Slice 98/155; Axial plane
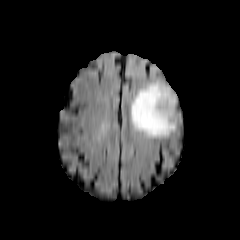
FLAIR magnetic resonance.
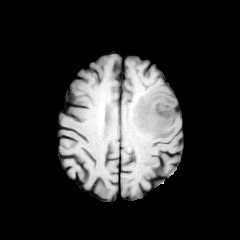
Same slice, T1-weighted MR.
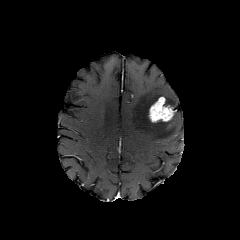
Post-contrast T1-weighted MRI.
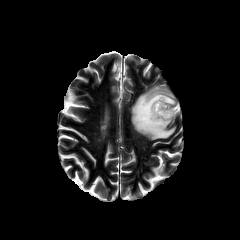
Same slice, T2-weighted MR.
peritumoral edema: bbox=[131, 82, 176, 138] | enhancing tumor: bbox=[148, 96, 176, 122]